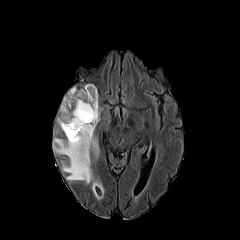
FLAIR MR.
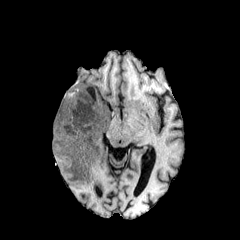
T1-weighted MR of the same slice.
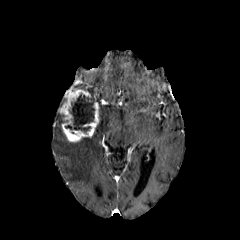
Post-contrast T1-weighted MRI.
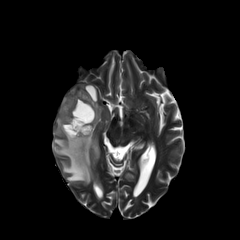
T2-weighted magnetic resonance.
Axial slice
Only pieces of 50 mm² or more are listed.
The 2 largest peritumoral edema regions appear at (left=53, top=134, right=104, bottom=199), (left=54, top=117, right=62, bottom=134). The largest necrotic tumor core region is at (left=65, top=87, right=96, bottom=132). The largest enhancing tumor region is bounded by (left=59, top=85, right=99, bottom=142).